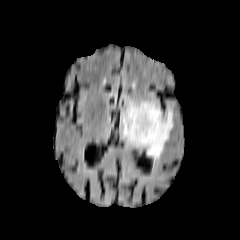
FLAIR MR.
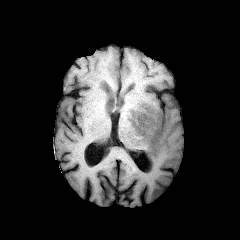
T1-weighted MR image.
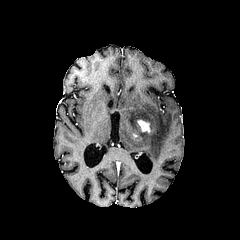
Post-contrast T1-weighted MRI.
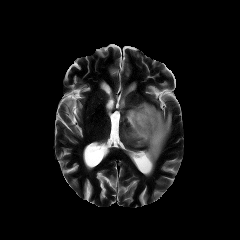
Same slice, T2-weighted MR.
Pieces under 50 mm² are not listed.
peritumoral edema: bounding box 121, 101, 173, 160
enhancing tumor: bounding box 137, 119, 150, 132